Axial plane, Brain
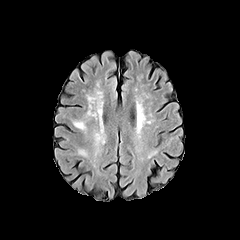
FLAIR magnetic resonance.
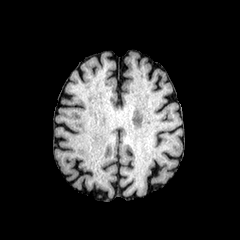
T1-weighted MRI of the same slice.
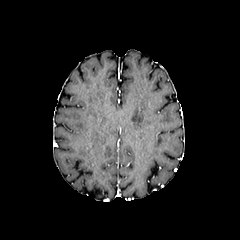
Post-contrast T1-weighted MR image of the same slice.
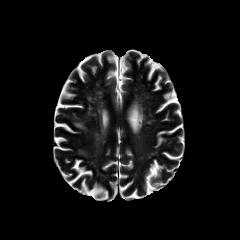
Same slice, T2-weighted MR image.
Findings:
• peritumoral edema: 71, 121, 86, 129